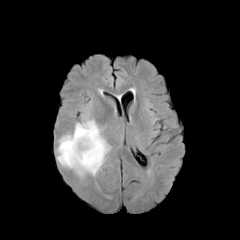
FLAIR magnetic resonance.
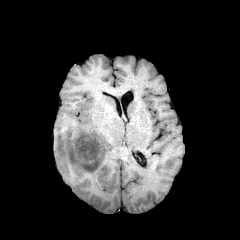
T1-weighted MRI.
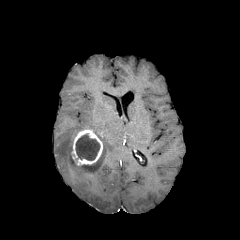
Same slice, post-contrast T1-weighted MR.
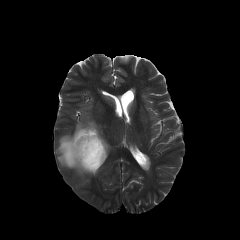
T2-weighted MRI.
Head
necrotic tumor core at [76,134,99,160]
enhancing tumor at [71,129,103,165]
peritumoral edema at [56,119,110,177]